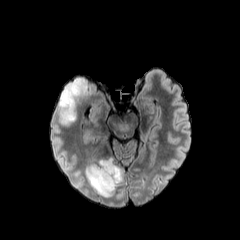
FLAIR MRI.
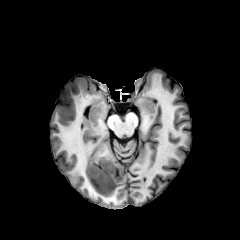
T1-weighted MRI of the same slice.
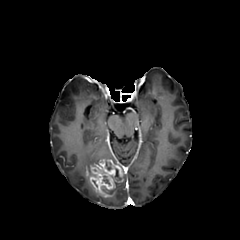
Post-contrast T1-weighted MRI.
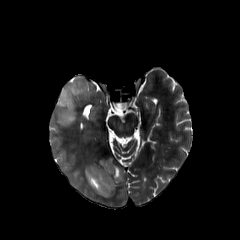
T2-weighted magnetic resonance.
Brain
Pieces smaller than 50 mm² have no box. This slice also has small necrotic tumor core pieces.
<segmentation>
  <enhancing_tumor>rect(86, 158, 124, 197)</enhancing_tumor>
  <peritumoral_edema>rect(110, 182, 122, 196); rect(58, 78, 88, 123); rect(74, 171, 82, 186)</peritumoral_edema>
</segmentation>